FLAIR MR image.
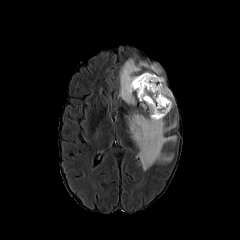
T1-weighted MR image.
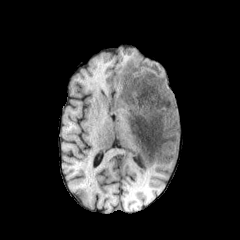
Post-contrast T1-weighted MRI.
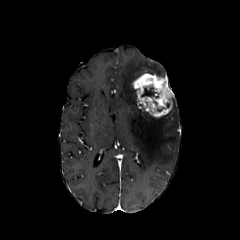
T2-weighted MR.
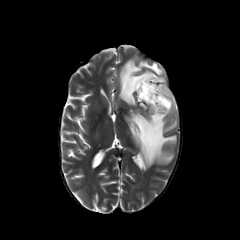
Head.
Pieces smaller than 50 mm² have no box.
Segmented structures:
• peritumoral edema: {"x1": 126, "y1": 111, "x2": 177, "y2": 170}, {"x1": 118, "y1": 58, "x2": 162, "y2": 105}
• enhancing tumor: {"x1": 132, "y1": 73, "x2": 173, "y2": 117}
• necrotic tumor core: {"x1": 141, "y1": 87, "x2": 156, "y2": 96}